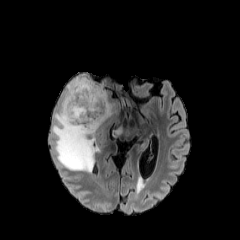
FLAIR magnetic resonance.
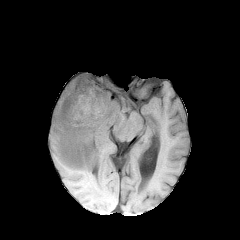
T1-weighted MR.
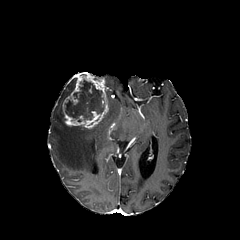
Same slice, post-contrast T1-weighted MR.
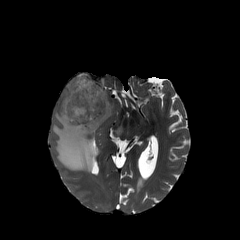
Same slice, T2-weighted MRI.
Brain, Axial slice, 240x240 px
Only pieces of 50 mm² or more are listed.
The 2 largest peritumoral edema regions are bounded by (x1=52, y1=77, x2=113, y2=172), (x1=112, y1=127, x2=122, y2=139). The largest enhancing tumor region is located at (x1=62, y1=72, x2=108, y2=129). The largest necrotic tumor core region is located at (x1=65, y1=79, x2=104, y2=121).